Image width 240 mm; Slice index 104; Head
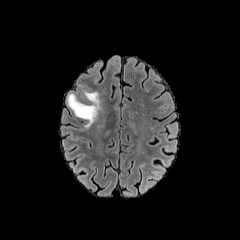
FLAIR MR.
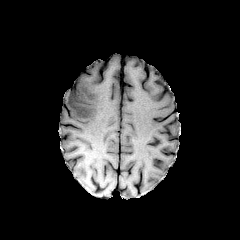
T1-weighted MR.
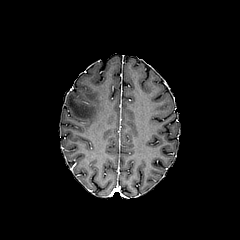
Post-contrast T1-weighted MRI.
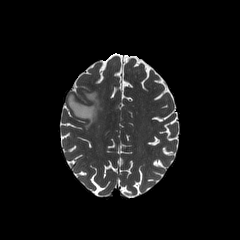
T2-weighted MR image.
peritumoral_edema:
  - region(67, 89, 101, 128)